Head. Slice 84 of 155. Axial view.
FLAIR MRI.
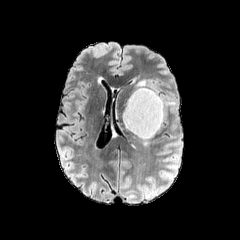
T1-weighted MR.
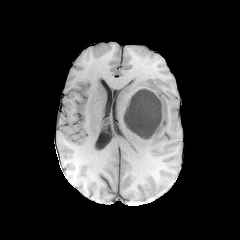
Post-contrast T1-weighted magnetic resonance.
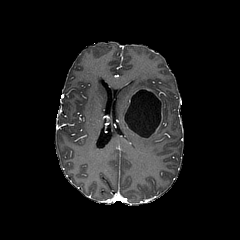
T2-weighted MR.
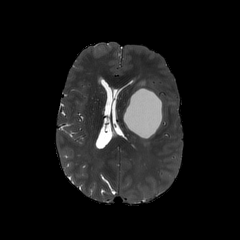
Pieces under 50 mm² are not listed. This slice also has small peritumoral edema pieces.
The largest enhancing tumor region lies within (126, 88, 162, 132). The necrotic tumor core is at (124, 89, 161, 138).